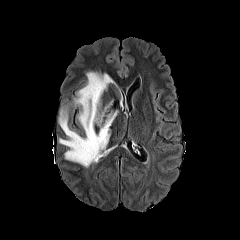
FLAIR magnetic resonance.
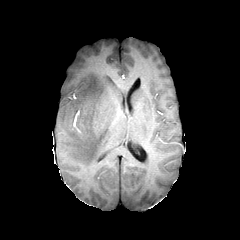
T1-weighted magnetic resonance.
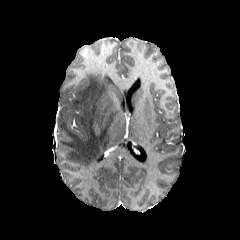
Same slice, post-contrast T1-weighted MRI.
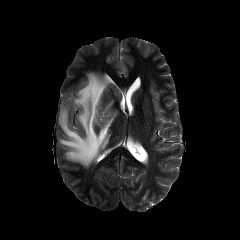
T2-weighted MRI of the same slice.
240x240 px.
The peritumoral edema is located at box(58, 71, 117, 167).